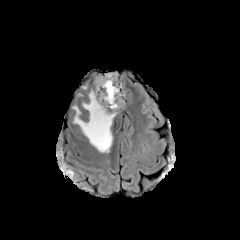
FLAIR magnetic resonance.
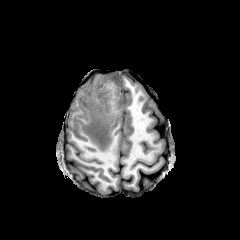
T1-weighted MR.
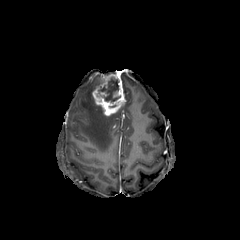
Post-contrast T1-weighted magnetic resonance of the same slice.
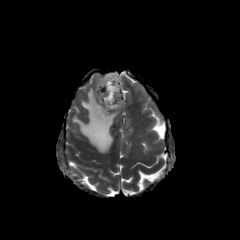
T2-weighted MRI of the same slice.
Brain | 240x240 | Axial plane
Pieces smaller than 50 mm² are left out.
The enhancing tumor appears at bbox=[92, 73, 125, 115]. The largest peritumoral edema region lies within bbox=[72, 89, 118, 152]. The largest necrotic tumor core region lies within bbox=[99, 77, 120, 102].